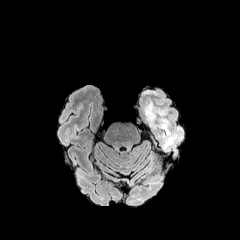
FLAIR MRI.
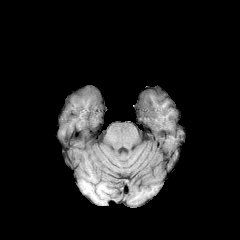
T1-weighted MR.
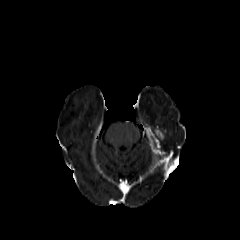
Same slice, post-contrast T1-weighted magnetic resonance.
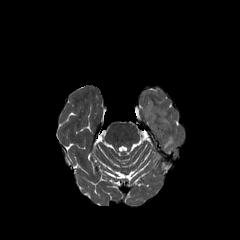
T2-weighted MR of the same slice.
240x240; Head
<segmentation>
  <peritumoral_edema>rect(143, 101, 180, 152)</peritumoral_edema>
  <enhancing_tumor>rect(144, 122, 164, 147)</enhancing_tumor>
</segmentation>